FLAIR magnetic resonance.
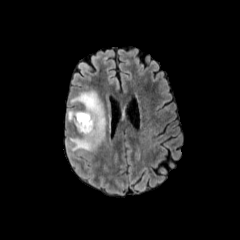
T1-weighted MR image.
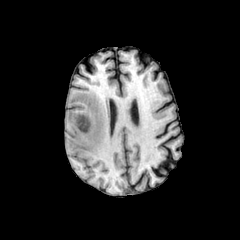
Post-contrast T1-weighted magnetic resonance.
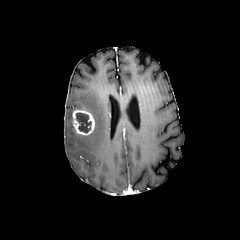
T2-weighted MR image.
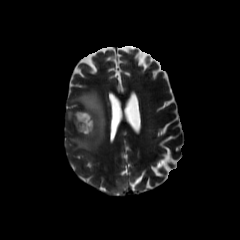
Axial view | Head
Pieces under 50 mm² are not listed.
{"necrotic_tumor_core": ["(75, 113, 91, 132)"], "enhancing_tumor": ["(72, 109, 94, 135)"], "peritumoral_edema": ["(67, 90, 106, 152)", "(67, 109, 75, 122)"]}